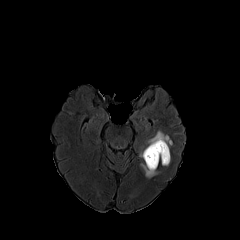
FLAIR magnetic resonance.
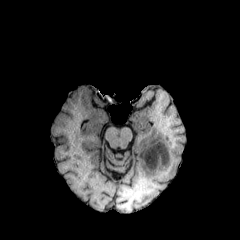
T1-weighted MR image of the same slice.
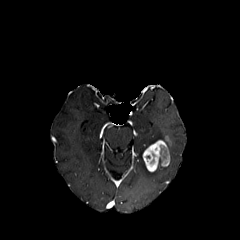
Post-contrast T1-weighted MR of the same slice.
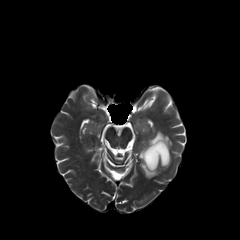
T2-weighted MR image.
Axial view.
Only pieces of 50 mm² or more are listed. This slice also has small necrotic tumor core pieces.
The largest enhancing tumor region is located at [x1=142, y1=140, x2=169, y2=171]. The 2 largest peritumoral edema regions are bounded by [x1=140, y1=163, x2=160, y2=178], [x1=146, y1=131, x2=168, y2=144].